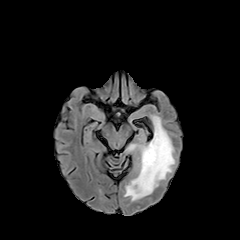
FLAIR magnetic resonance.
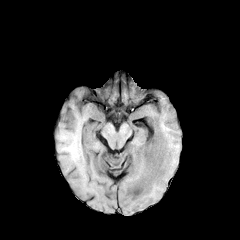
T1-weighted MR image.
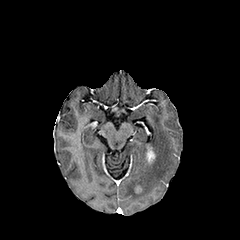
Same slice, post-contrast T1-weighted magnetic resonance.
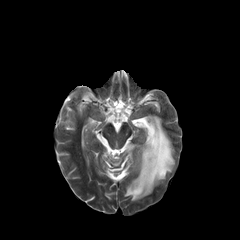
T2-weighted MR of the same slice.
240x240 px, Head
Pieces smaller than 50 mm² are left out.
enhancing tumor: bbox(146, 146, 155, 163)
peritumoral edema: bbox(124, 115, 174, 201)